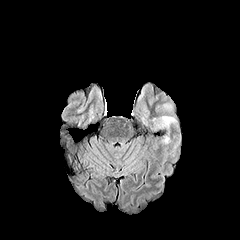
FLAIR MR image.
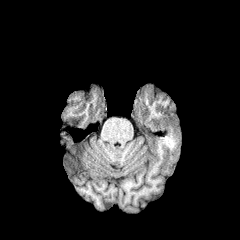
T1-weighted magnetic resonance of the same slice.
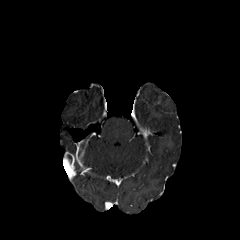
Post-contrast T1-weighted magnetic resonance of the same slice.
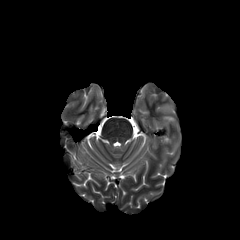
T2-weighted MR image of the same slice.
Brain
<segmentation>
  <peritumoral_edema>[x1=153, y1=115, x2=178, y2=144], [x1=163, y1=102, x2=172, y2=112]</peritumoral_edema>
</segmentation>